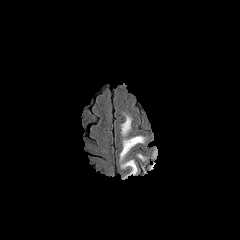
FLAIR magnetic resonance.
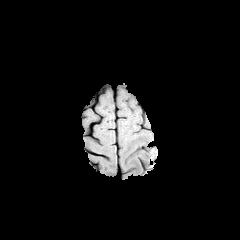
T1-weighted MR image.
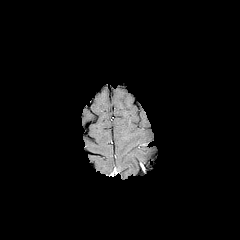
Post-contrast T1-weighted MR image.
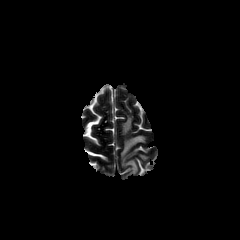
T2-weighted MRI.
Axial slice
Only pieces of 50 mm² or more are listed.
The largest peritumoral edema region appears at box=[120, 113, 147, 178].